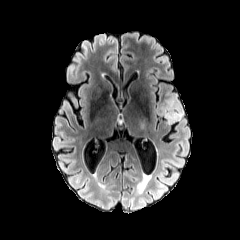
FLAIR MRI.
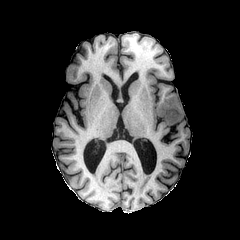
T1-weighted MR.
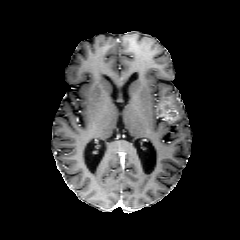
Same slice, post-contrast T1-weighted magnetic resonance.
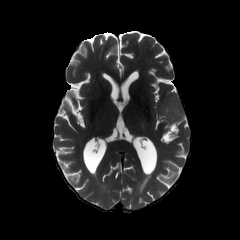
Same slice, T2-weighted MR.
Axial slice; Brain
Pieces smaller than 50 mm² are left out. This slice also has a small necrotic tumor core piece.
The largest peritumoral edema region is at 166,94,183,120. The enhancing tumor lies within 157,97,179,122.